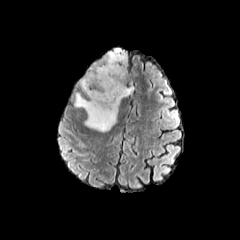
FLAIR MR image.
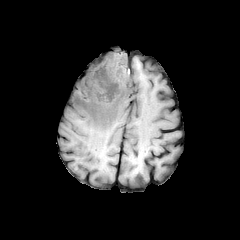
T1-weighted MR image.
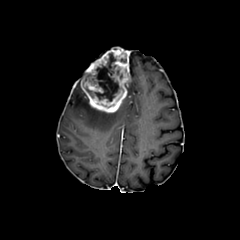
Same slice, post-contrast T1-weighted MR image.
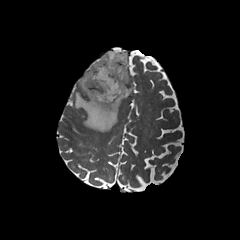
T2-weighted MR.
Axial plane, Brain
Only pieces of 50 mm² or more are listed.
enhancing_tumor:
  - 80:47:130:113
necrotic_tumor_core:
  - 87:53:119:101
peritumoral_edema:
  - 127:80:134:96
  - 74:80:119:131